240x240; Slice index 111
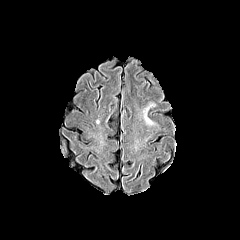
FLAIR MRI.
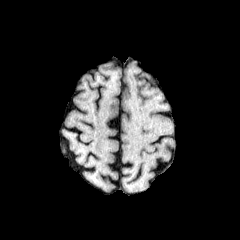
Same slice, T1-weighted magnetic resonance.
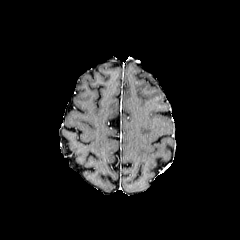
Same slice, post-contrast T1-weighted MRI.
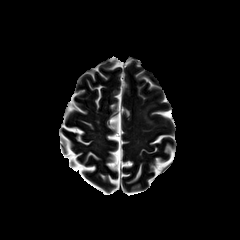
T2-weighted MR of the same slice.
The peritumoral edema is at box(144, 107, 152, 124).